Image covers 240 mm x 240 mm
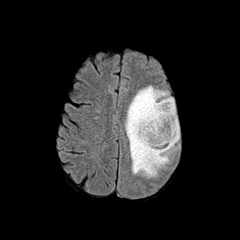
FLAIR MR image.
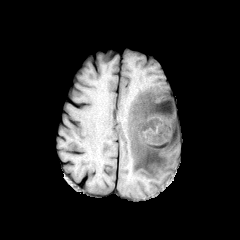
T1-weighted magnetic resonance.
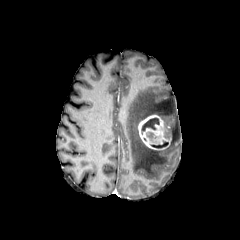
Post-contrast T1-weighted MR.
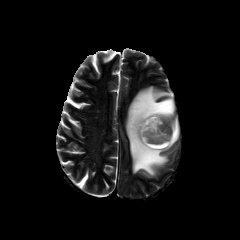
T2-weighted magnetic resonance.
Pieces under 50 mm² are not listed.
<segmentation>
  <peritumoral_edema>[125, 86, 179, 177]</peritumoral_edema>
  <necrotic_tumor_core>[141, 118, 159, 133], [151, 142, 168, 148]</necrotic_tumor_core>
  <enhancing_tumor>[138, 114, 171, 149]</enhancing_tumor>
</segmentation>